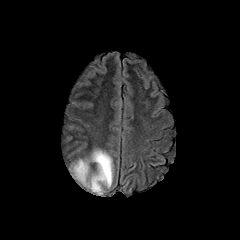
FLAIR MRI.
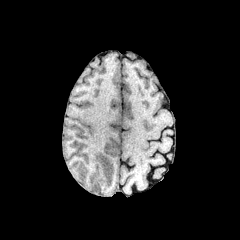
T1-weighted MR image.
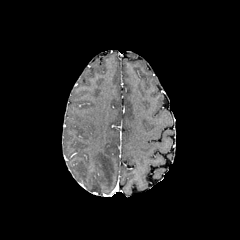
Same slice, post-contrast T1-weighted magnetic resonance.
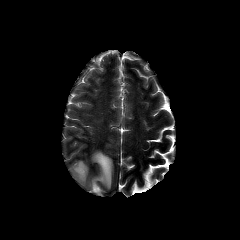
T2-weighted MRI.
Axial slice
The peritumoral edema is located at region(72, 150, 113, 194).